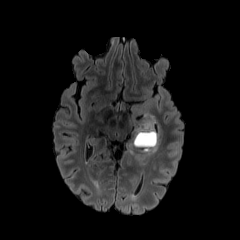
FLAIR MRI.
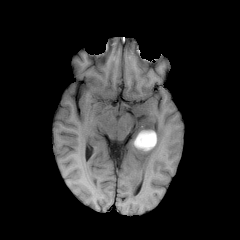
T1-weighted magnetic resonance of the same slice.
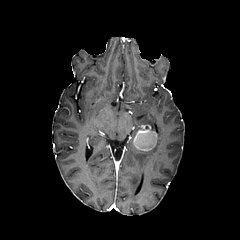
Post-contrast T1-weighted MR image.
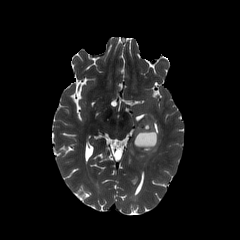
Same slice, T2-weighted MR.
Head | Axial slice
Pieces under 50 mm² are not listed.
Annotated regions:
* enhancing tumor: x1=133 y1=124 x2=157 y2=150
* peritumoral edema: x1=142 y1=114 x2=155 y2=130, x1=144 y1=125 x2=161 y2=153
* necrotic tumor core: x1=136 y1=132 x2=155 y2=148